Axial view; Slice index 59; Brain
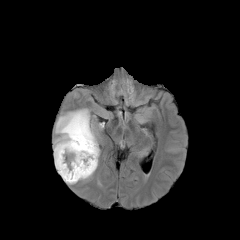
FLAIR magnetic resonance.
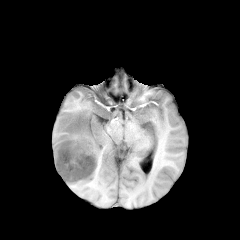
Same slice, T1-weighted MRI.
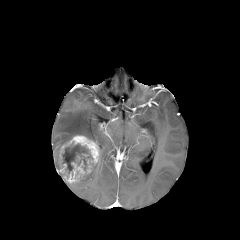
Same slice, post-contrast T1-weighted MR image.
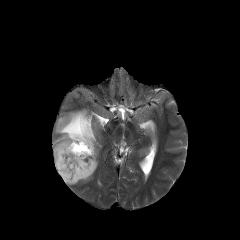
T2-weighted MR image.
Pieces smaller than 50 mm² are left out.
The enhancing tumor is at [57, 135, 99, 183]. The 2 largest peritumoral edema regions appear at [80, 160, 98, 180], [53, 109, 98, 169]. The largest necrotic tumor core region is located at [62, 144, 91, 173].